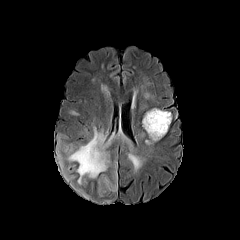
FLAIR MR image.
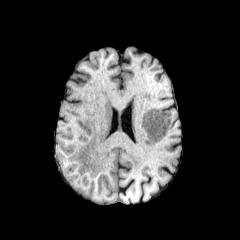
Same slice, T1-weighted MRI.
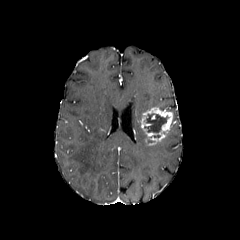
Post-contrast T1-weighted MRI of the same slice.
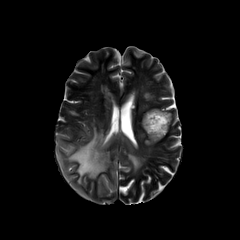
T2-weighted magnetic resonance of the same slice.
Brain
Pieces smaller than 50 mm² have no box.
{"enhancing_tumor": ["region(141, 107, 172, 145)"], "peritumoral_edema": ["region(98, 178, 109, 194)", "region(57, 126, 142, 196)"], "necrotic_tumor_core": ["region(144, 113, 168, 132)"]}